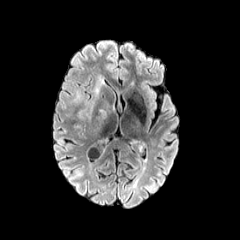
FLAIR MRI.
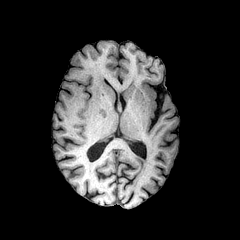
T1-weighted magnetic resonance of the same slice.
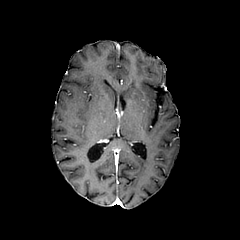
Post-contrast T1-weighted MR image.
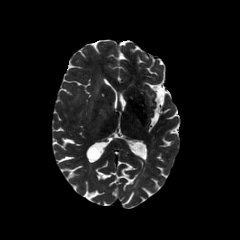
T2-weighted MR image.
Axial view
{
  "peritumoral_edema": [
    "bbox=[79, 76, 103, 121]",
    "bbox=[94, 102, 108, 131]"
  ]
}